Axial slice; Brain; Slice index 75
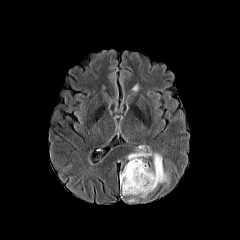
FLAIR MR image.
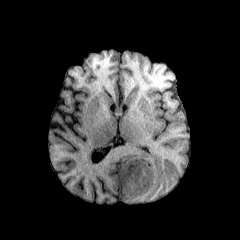
T1-weighted MR image of the same slice.
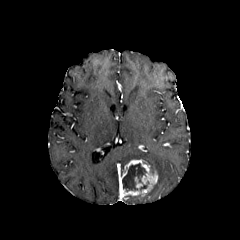
Post-contrast T1-weighted MRI.
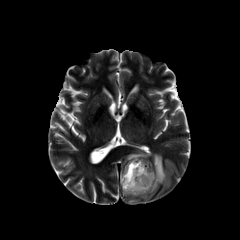
T2-weighted MR image.
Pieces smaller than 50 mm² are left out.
enhancing tumor — {"x1": 121, "y1": 159, "x2": 158, "y2": 197}
necrotic tumor core — {"x1": 122, "y1": 163, "x2": 146, "y2": 191}
peritumoral edema — {"x1": 126, "y1": 149, "x2": 169, "y2": 192}